Axial plane | Slice index 119 | Brain
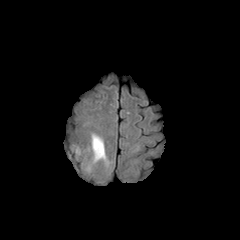
FLAIR magnetic resonance.
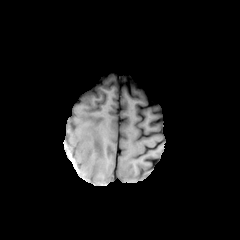
T1-weighted magnetic resonance.
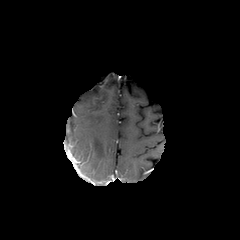
Post-contrast T1-weighted MR image.
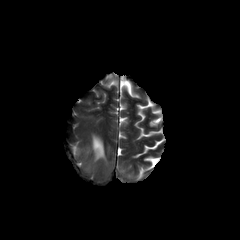
Same slice, T2-weighted MR.
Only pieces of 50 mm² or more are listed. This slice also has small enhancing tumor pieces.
Annotated regions:
* peritumoral edema: left=72, top=145, right=81, bottom=160; left=78, top=133, right=108, bottom=173